240x240 | Brain | Slice 100/155
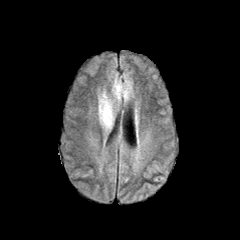
FLAIR MR image.
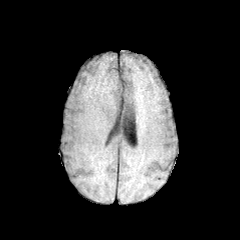
T1-weighted MR of the same slice.
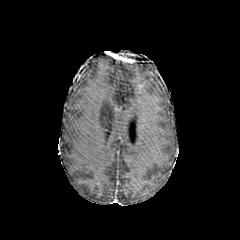
Post-contrast T1-weighted MR of the same slice.
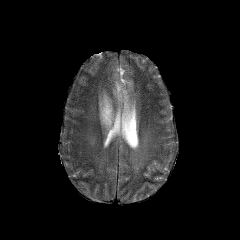
T2-weighted MRI of the same slice.
peritumoral edema: [98,74,131,130]